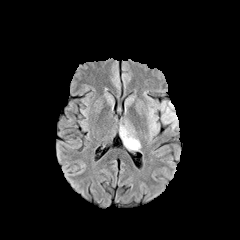
FLAIR MR.
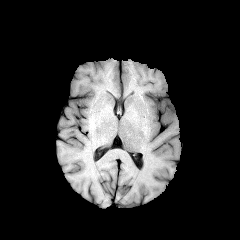
Same slice, T1-weighted MRI.
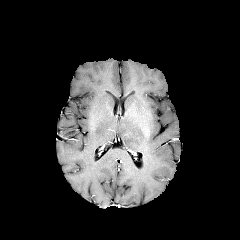
Same slice, post-contrast T1-weighted MRI.
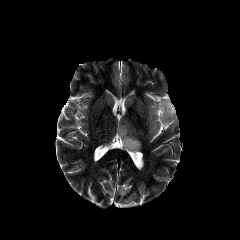
Same slice, T2-weighted MRI.
Axial plane, Head
{"peritumoral_edema": ["left=119, top=124, right=140, bottom=150", "left=148, top=101, right=178, bottom=135"]}